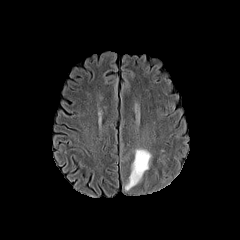
FLAIR magnetic resonance.
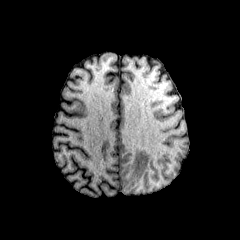
T1-weighted MR image of the same slice.
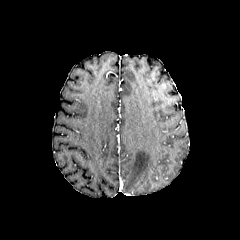
Post-contrast T1-weighted magnetic resonance of the same slice.
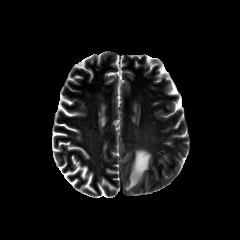
T2-weighted magnetic resonance.
Axial plane
The peritumoral edema lies within region(125, 148, 151, 190).